FLAIR MR image.
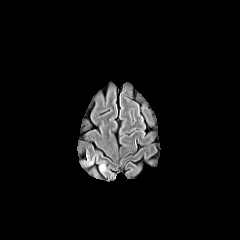
T1-weighted MR.
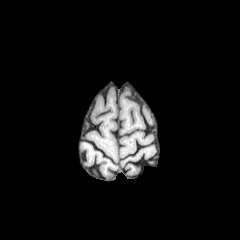
Post-contrast T1-weighted MR image.
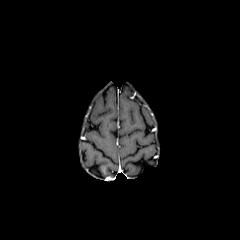
T2-weighted MR.
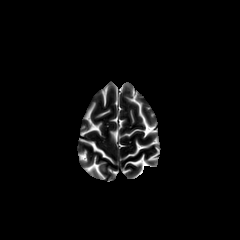
Findings:
* peritumoral edema: 99, 163, 106, 172